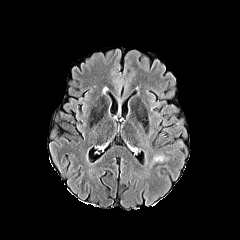
FLAIR MR.
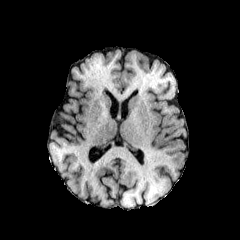
T1-weighted MR.
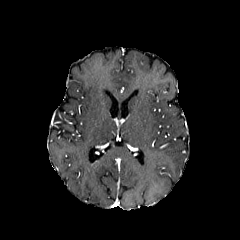
Post-contrast T1-weighted magnetic resonance.
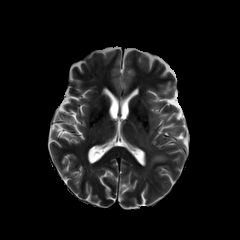
T2-weighted magnetic resonance.
Axial view; 240x240
<segmentation>
  <peritumoral_edema>149:155:165:167</peritumoral_edema>
</segmentation>